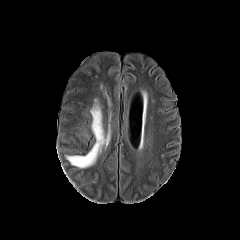
FLAIR MRI.
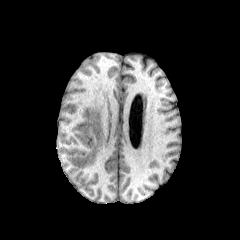
T1-weighted MR image of the same slice.
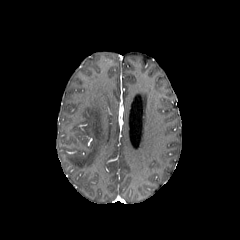
Same slice, post-contrast T1-weighted MR image.
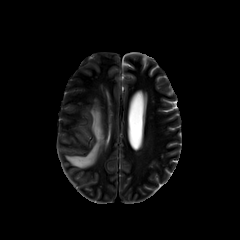
T2-weighted magnetic resonance.
Head.
peritumoral edema: rect(104, 91, 111, 107); rect(63, 98, 111, 169)